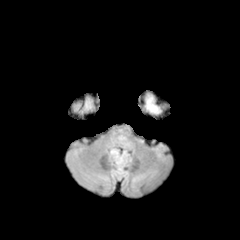
FLAIR MRI.
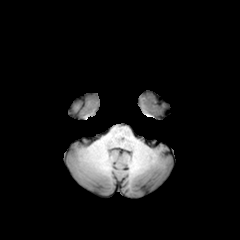
T1-weighted magnetic resonance.
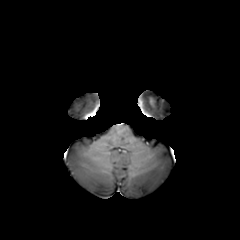
Post-contrast T1-weighted MRI.
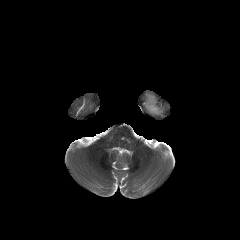
T2-weighted MR.
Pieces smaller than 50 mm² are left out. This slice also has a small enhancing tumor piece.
peritumoral edema: region(146, 96, 159, 113)